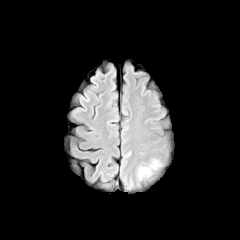
FLAIR MRI.
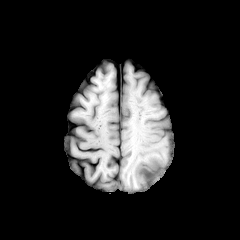
Same slice, T1-weighted MRI.
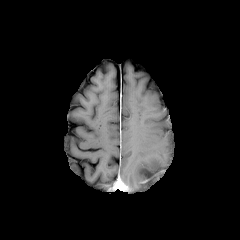
Post-contrast T1-weighted MR image of the same slice.
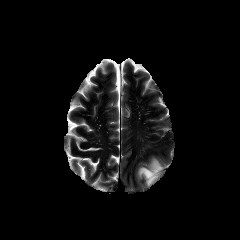
T2-weighted MR of the same slice.
Axial view. Brain.
- peritumoral edema: box(138, 159, 163, 181)